FLAIR MRI.
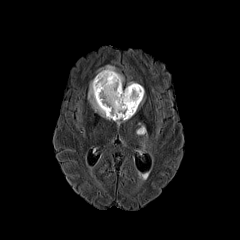
T1-weighted MRI.
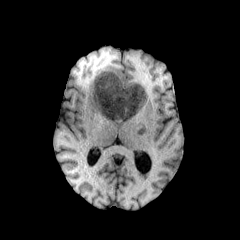
Post-contrast T1-weighted MRI.
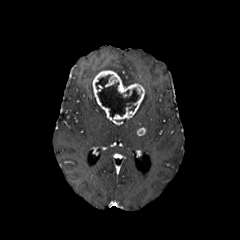
T2-weighted MRI.
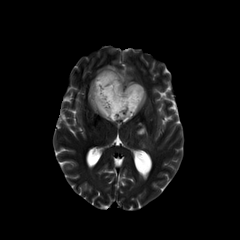
Axial slice | 240x240 | Head
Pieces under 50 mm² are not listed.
Segmented structures:
* peritumoral edema: region(88, 80, 106, 118); region(97, 65, 124, 82)
* necrotic tumor core: region(95, 75, 140, 117)
* enhancing tumor: region(137, 127, 145, 135); region(92, 70, 144, 121)